Slice 88 of 155 | Head
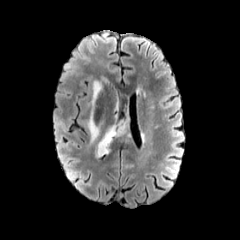
FLAIR MR image.
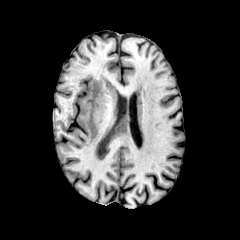
Same slice, T1-weighted MRI.
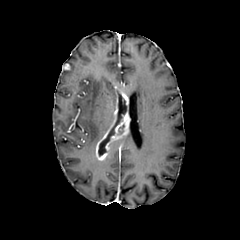
Same slice, post-contrast T1-weighted MR.
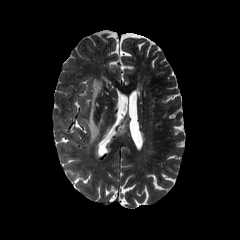
T2-weighted MRI.
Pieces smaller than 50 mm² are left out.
<segmentation>
  <peritumoral_edema>(left=87, top=80, right=102, bottom=144)</peritumoral_edema>
  <necrotic_tumor_core>(left=98, top=121, right=119, bottom=155)</necrotic_tumor_core>
  <enhancing_tumor>(left=95, top=114, right=129, bottom=160)</enhancing_tumor>
</segmentation>